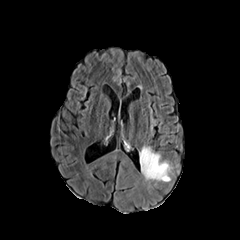
FLAIR magnetic resonance.
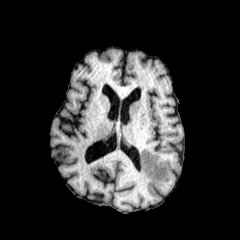
T1-weighted MRI.
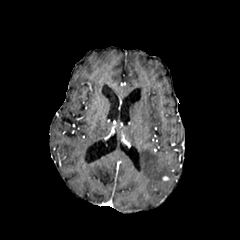
Post-contrast T1-weighted MRI.
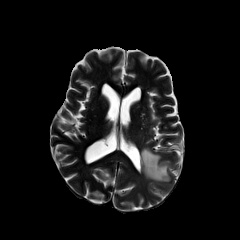
T2-weighted MR image of the same slice.
Axial view, Head, 240x240
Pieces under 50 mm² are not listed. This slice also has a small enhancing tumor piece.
peritumoral edema at (139, 147, 171, 182)